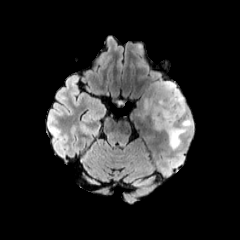
FLAIR MRI.
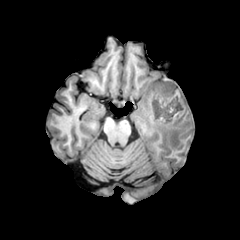
T1-weighted MR image.
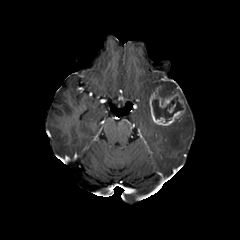
Post-contrast T1-weighted MR.
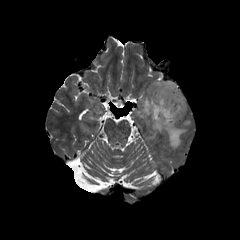
T2-weighted MR image.
Brain
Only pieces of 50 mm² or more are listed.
Segmented structures:
* enhancing tumor: region(149, 86, 185, 125)
* peritumoral edema: region(155, 81, 183, 99); region(144, 99, 149, 113); region(154, 118, 192, 149)
* necrotic tumor core: region(152, 96, 183, 121)